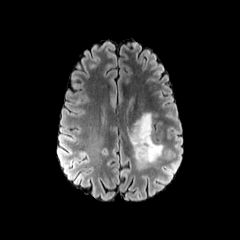
FLAIR magnetic resonance.
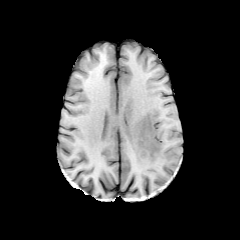
T1-weighted MR image.
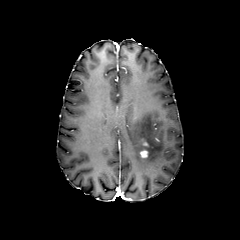
Same slice, post-contrast T1-weighted MR image.
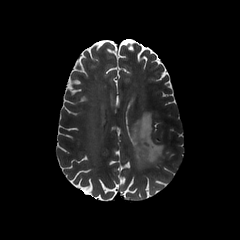
T2-weighted magnetic resonance.
Head.
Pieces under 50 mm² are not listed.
peritumoral edema: x1=126 y1=112 x2=163 y2=170
enhancing tumor: x1=140 y1=150 x2=148 y2=157